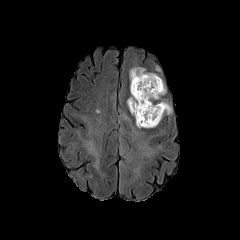
FLAIR MR image.
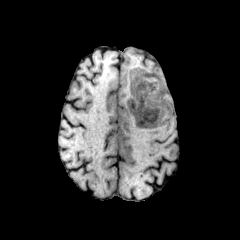
T1-weighted magnetic resonance.
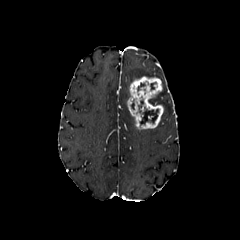
Post-contrast T1-weighted magnetic resonance.
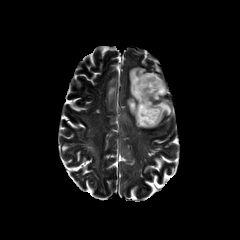
Same slice, T2-weighted MR image.
240x240. Axial slice.
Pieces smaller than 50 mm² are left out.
peritumoral_edema:
  - x1=155, y1=100, x2=172, y2=119
  - x1=148, y1=79, x2=166, y2=105
  - x1=129, y1=67, x2=160, y2=83
enhancing_tumor:
  - x1=127, y1=76, x2=163, y2=129
necrotic_tumor_core:
  - x1=140, y1=109, x2=158, y2=124